FLAIR MR.
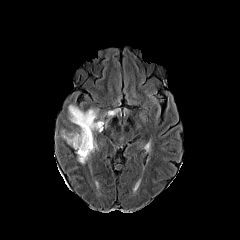
T1-weighted magnetic resonance.
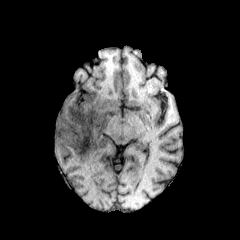
Post-contrast T1-weighted MR image.
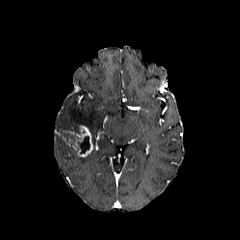
T2-weighted magnetic resonance.
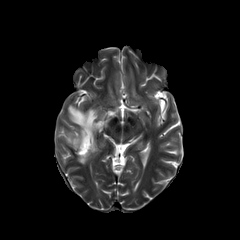
Head
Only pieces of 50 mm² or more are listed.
enhancing tumor: [x1=68, y1=125, x2=93, y2=157] | necrotic tumor core: [x1=77, y1=136, x2=90, y2=153] | peritumoral edema: [x1=77, y1=154, x2=93, y2=188], [x1=63, y1=105, x2=115, y2=153]